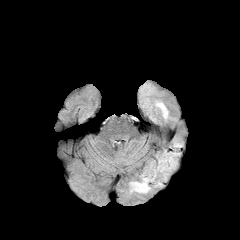
FLAIR MR.
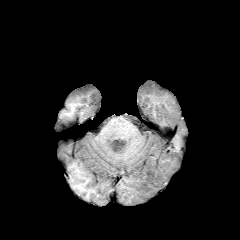
T1-weighted MR.
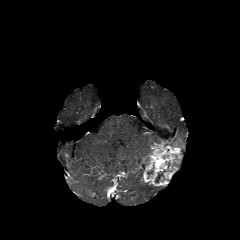
Post-contrast T1-weighted MR.
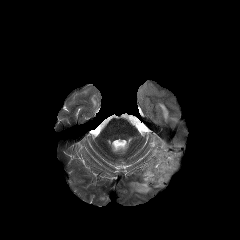
T2-weighted MR image.
240x240. Axial slice.
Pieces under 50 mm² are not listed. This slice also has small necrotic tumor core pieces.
The enhancing tumor is located at x1=141 y1=141 x2=183 y2=186. The 2 largest peritumoral edema regions are bounded by x1=156 y1=102 x2=176 y2=120, x1=130 y1=181 x2=151 y2=193.